FLAIR MRI.
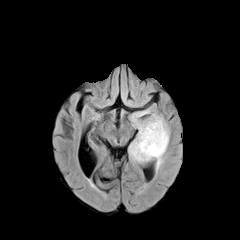
T1-weighted MR.
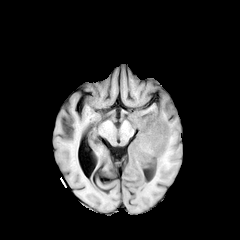
Post-contrast T1-weighted magnetic resonance.
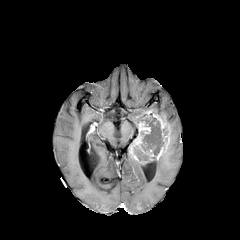
T2-weighted MR image.
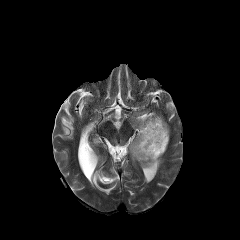
Brain
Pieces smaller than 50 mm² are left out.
{"enhancing_tumor": ["[129, 114, 169, 160]"], "peritumoral_edema": ["[130, 109, 156, 138]", "[129, 153, 150, 163]"], "necrotic_tumor_core": ["[137, 115, 164, 155]", "[134, 146, 149, 159]"]}